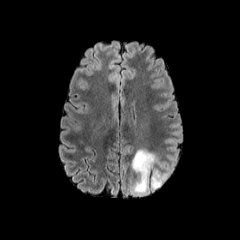
FLAIR magnetic resonance.
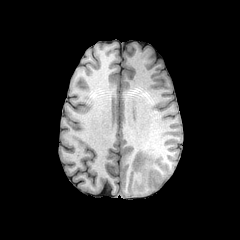
Same slice, T1-weighted MR image.
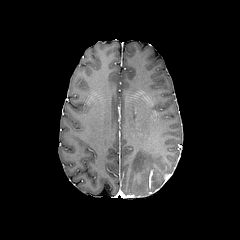
Post-contrast T1-weighted MR image of the same slice.
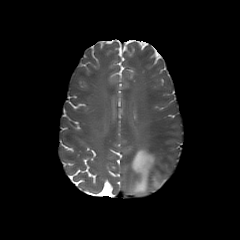
T2-weighted MRI of the same slice.
Axial slice, Head
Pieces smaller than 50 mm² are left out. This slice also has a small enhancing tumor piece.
<segmentation>
  <peritumoral_edema>(x1=131, y1=149, x2=170, y2=195)</peritumoral_edema>
</segmentation>